FLAIR MR.
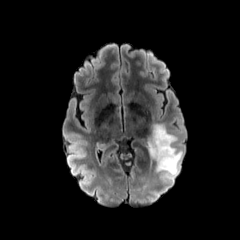
T1-weighted MRI.
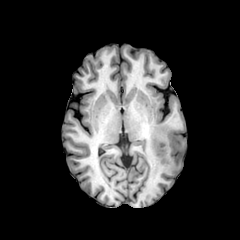
Post-contrast T1-weighted MR image.
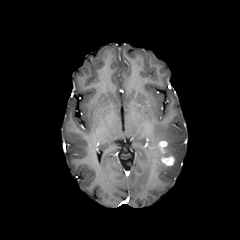
T2-weighted MR.
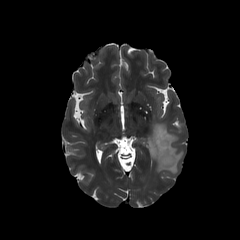
240x240 px | Brain | Axial slice
Findings:
* enhancing tumor: (x1=156, y1=141, x2=174, y2=165)
* peritumoral edema: (x1=146, y1=123, x2=182, y2=179)